Axial slice; Brain; Slice 95/155; 240x240
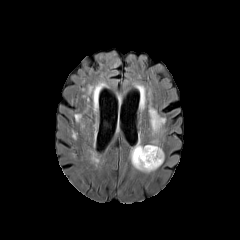
FLAIR magnetic resonance.
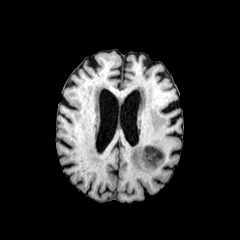
T1-weighted magnetic resonance.
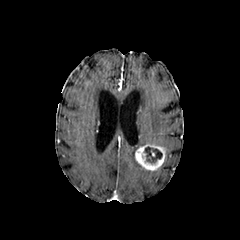
Same slice, post-contrast T1-weighted magnetic resonance.
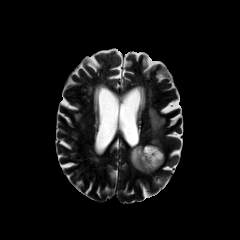
T2-weighted MRI of the same slice.
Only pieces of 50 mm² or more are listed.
The largest enhancing tumor region is at left=135, top=144, right=165, bottom=170. The necrotic tumor core is bounded by left=144, top=147, right=162, bottom=163. The 2 largest peritumoral edema regions appear at left=149, top=107, right=165, bottom=135; left=129, top=142, right=153, bottom=173.